Head, Axial view, Slice 54 of 155, Image width 240 mm, Image size 240x240
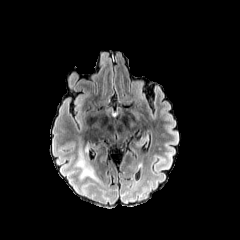
FLAIR MR image.
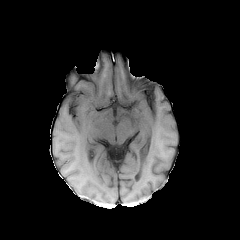
Same slice, T1-weighted MR image.
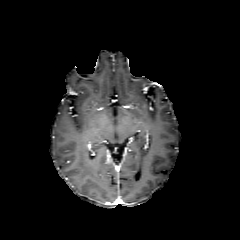
Post-contrast T1-weighted MRI of the same slice.
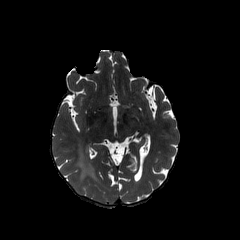
T2-weighted magnetic resonance.
• peritumoral edema: <box>77,152,95,178</box>